Head.
FLAIR MR.
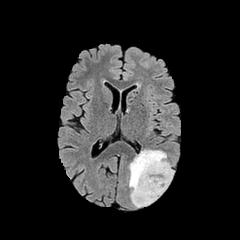
T1-weighted MRI.
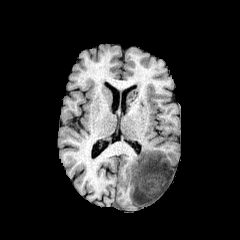
Post-contrast T1-weighted MR.
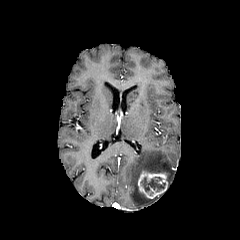
T2-weighted magnetic resonance.
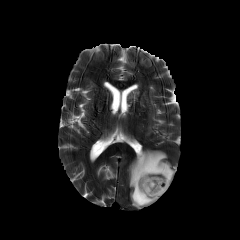
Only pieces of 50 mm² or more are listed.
The peritumoral edema is located at (left=129, top=149, right=174, bottom=207). The enhancing tumor is bounded by (left=138, top=170, right=168, bottom=198). The largest necrotic tumor core region is located at (left=141, top=177, right=165, bottom=191).